Head, Slice index 97
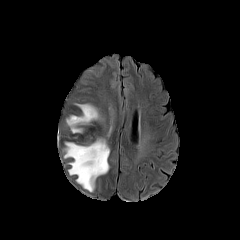
FLAIR MRI.
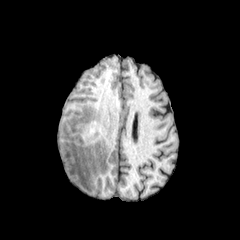
T1-weighted MRI.
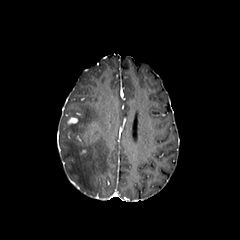
Post-contrast T1-weighted MR of the same slice.
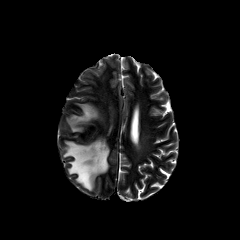
T2-weighted MRI of the same slice.
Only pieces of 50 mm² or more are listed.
The 2 largest peritumoral edema regions appear at box(64, 138, 109, 191); box(66, 103, 100, 133). The largest enhancing tumor region appears at box(68, 117, 77, 123).